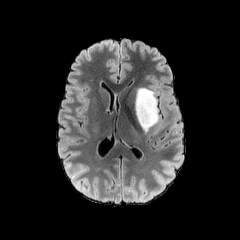
FLAIR magnetic resonance.
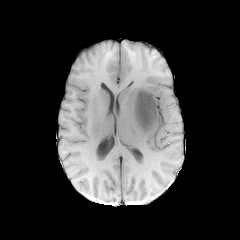
T1-weighted MRI.
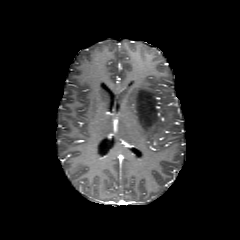
Post-contrast T1-weighted MR image.
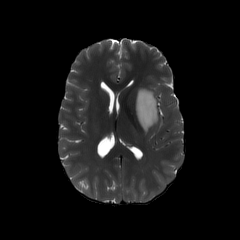
T2-weighted MRI.
240x240 px
peritumoral edema: bounding box l=135, t=88, r=159, b=132